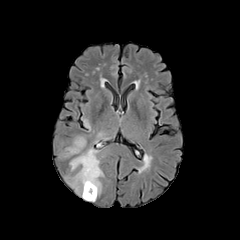
FLAIR MRI.
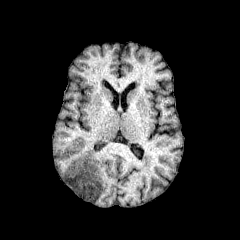
Same slice, T1-weighted MR.
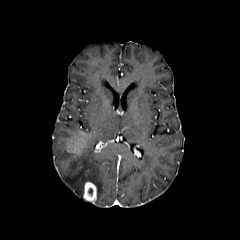
Post-contrast T1-weighted magnetic resonance.
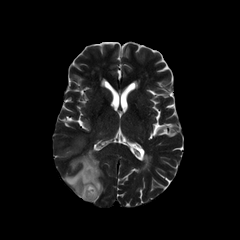
Same slice, T2-weighted magnetic resonance.
Axial slice, Image size 240x240, Head
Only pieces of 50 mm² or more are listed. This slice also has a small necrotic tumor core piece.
- peritumoral edema: bbox(64, 147, 103, 197); bbox(83, 119, 90, 129)
- enhancing tumor: bbox(83, 182, 96, 202); bbox(67, 135, 86, 153)